Axial view | Image width 240 mm
FLAIR MR.
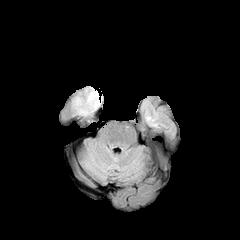
T1-weighted MR.
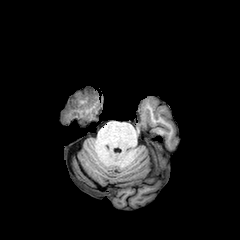
Post-contrast T1-weighted magnetic resonance.
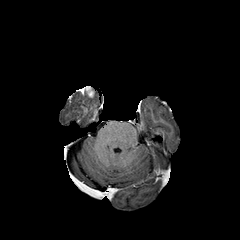
T2-weighted MR.
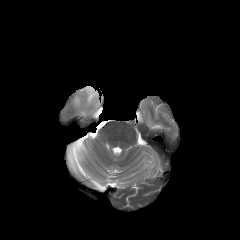
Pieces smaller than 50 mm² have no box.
Segmented structures:
• peritumoral edema: 73:90:100:115
• enhancing tumor: 77:86:94:97